FLAIR MR image.
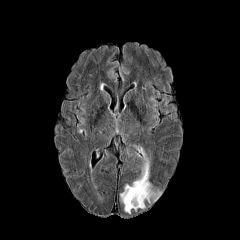
T1-weighted MR image.
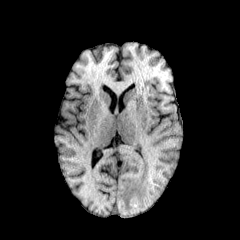
Post-contrast T1-weighted magnetic resonance.
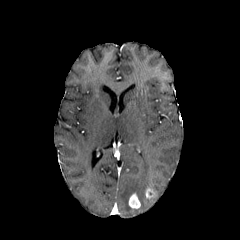
T2-weighted magnetic resonance.
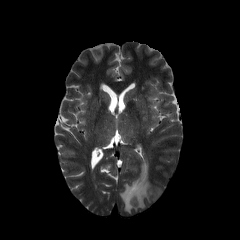
Axial view
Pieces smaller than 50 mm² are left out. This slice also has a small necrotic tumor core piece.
The largest peritumoral edema region is at rect(120, 145, 161, 213). 2 enhancing tumor regions are located at rect(128, 193, 140, 208); rect(145, 188, 156, 198).